FLAIR MRI.
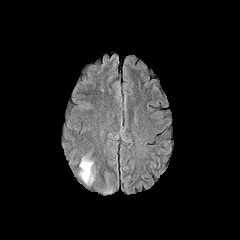
T1-weighted MR.
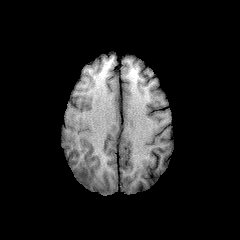
Post-contrast T1-weighted magnetic resonance.
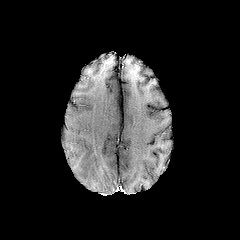
T2-weighted magnetic resonance.
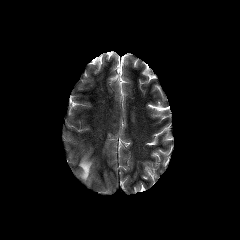
Brain
The peritumoral edema is located at 79:159:92:182.